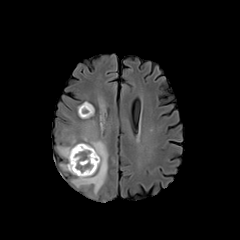
FLAIR MRI.
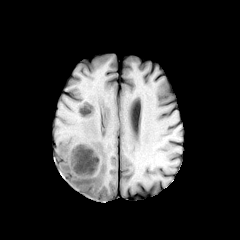
T1-weighted MR of the same slice.
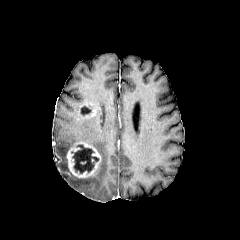
Post-contrast T1-weighted MR image.
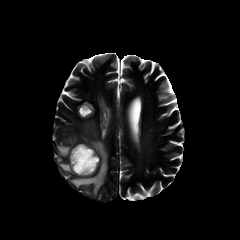
T2-weighted MR image.
Axial plane
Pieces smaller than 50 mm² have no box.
The 2 largest enhancing tumor regions appear at [66, 142, 101, 178], [80, 109, 94, 118]. The 3 largest peritumoral edema regions appear at [60, 163, 69, 171], [71, 121, 108, 196], [57, 135, 77, 158]. 2 necrotic tumor core regions appear at [71, 144, 98, 173], [80, 105, 92, 116].